FLAIR magnetic resonance.
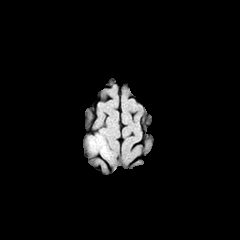
T1-weighted magnetic resonance.
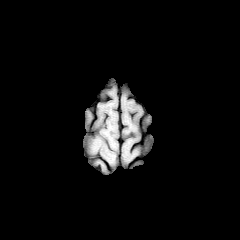
Post-contrast T1-weighted magnetic resonance.
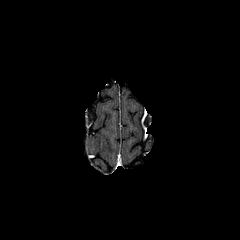
T2-weighted MR.
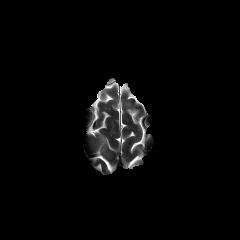
Axial view
{"peritumoral_edema": ["(83,134,112,164)"]}